FLAIR MRI.
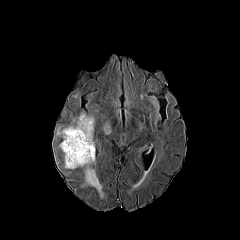
T1-weighted magnetic resonance.
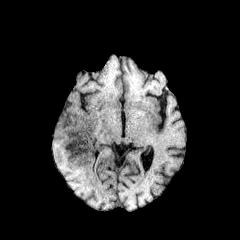
Post-contrast T1-weighted MRI.
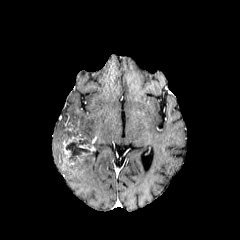
T2-weighted magnetic resonance.
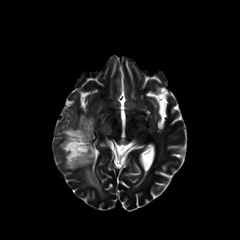
Image size 240x240. Axial view.
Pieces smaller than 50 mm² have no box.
Segmented structures:
- enhancing tumor: [x1=63, y1=132, x2=85, y2=165], [x1=79, y1=144, x2=94, y2=153]
- peritumoral edema: [x1=56, y1=113, x2=94, y2=146], [x1=64, y1=151, x2=103, y2=197]
- necrotic tumor core: [x1=66, y1=139, x2=90, y2=163]